FLAIR magnetic resonance.
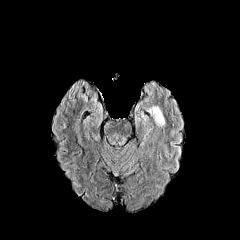
T1-weighted magnetic resonance.
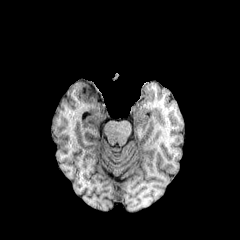
Post-contrast T1-weighted magnetic resonance.
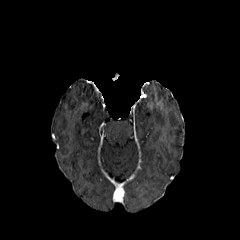
T2-weighted MRI.
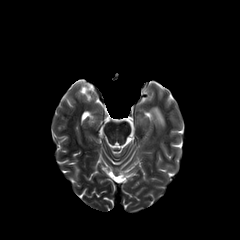
Brain, 240x240
{
  "peritumoral_edema": [
    "region(149, 107, 164, 126)"
  ]
}